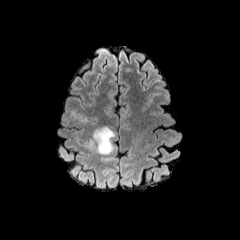
FLAIR MR.
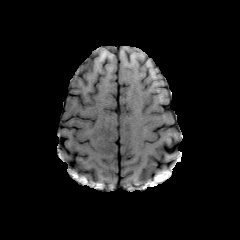
T1-weighted MR image of the same slice.
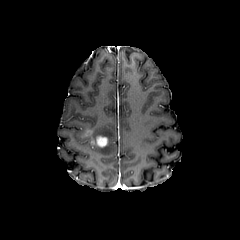
Same slice, post-contrast T1-weighted magnetic resonance.
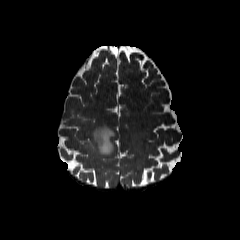
Same slice, T2-weighted MR image.
Head, 240x240, Axial plane
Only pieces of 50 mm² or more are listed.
The largest enhancing tumor region is located at left=96, top=136, right=107, bottom=147. The peritumoral edema is at left=83, top=126, right=115, bottom=160.